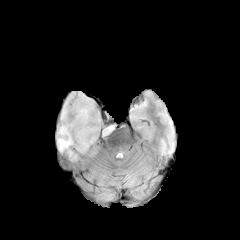
FLAIR magnetic resonance.
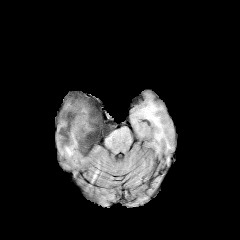
T1-weighted MR.
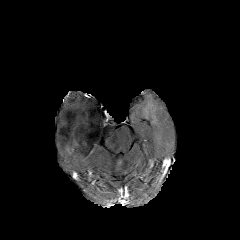
Post-contrast T1-weighted MR image of the same slice.
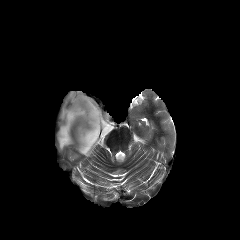
T2-weighted MR.
Axial slice.
The peritumoral edema is located at {"x1": 57, "y1": 92, "x2": 114, "y2": 160}.